Axial view; Slice 81/155
FLAIR MR image.
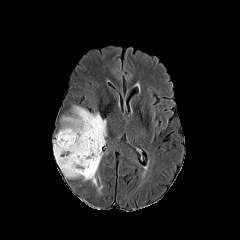
T1-weighted MR image.
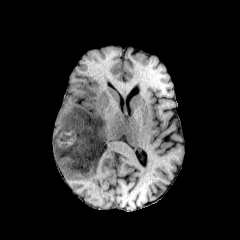
Post-contrast T1-weighted magnetic resonance.
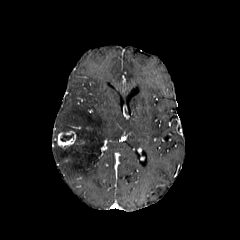
T2-weighted MRI.
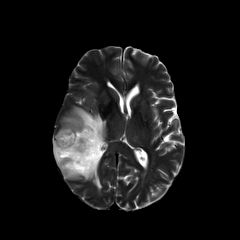
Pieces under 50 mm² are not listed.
<segmentation>
  <enhancing_tumor>(57, 130, 75, 148)</enhancing_tumor>
  <peritumoral_edema>(53, 106, 106, 185)</peritumoral_edema>
  <necrotic_tumor_core>(60, 133, 73, 141)</necrotic_tumor_core>
</segmentation>